Head; Slice index 96
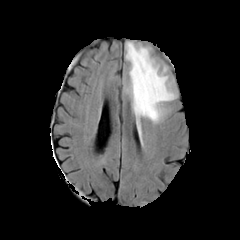
FLAIR MRI.
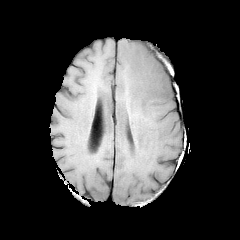
Same slice, T1-weighted MR image.
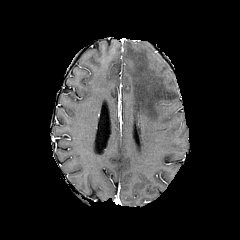
Post-contrast T1-weighted magnetic resonance of the same slice.
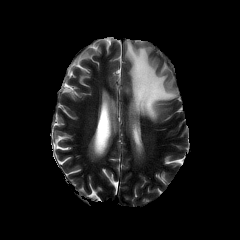
Same slice, T2-weighted MRI.
peritumoral edema: {"x1": 125, "y1": 41, "x2": 176, "y2": 123}